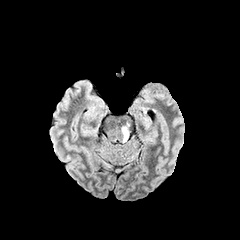
FLAIR MR.
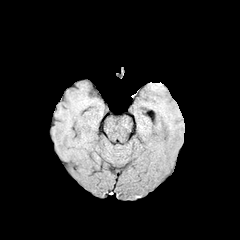
T1-weighted MR.
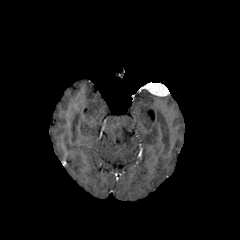
Post-contrast T1-weighted magnetic resonance of the same slice.
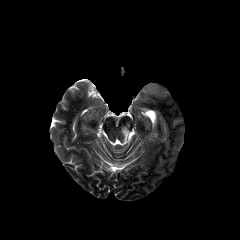
T2-weighted MR image.
Head
peritumoral edema: bounding box bbox=[121, 124, 129, 142]